FLAIR magnetic resonance.
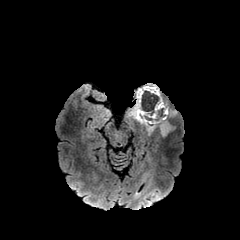
T1-weighted magnetic resonance.
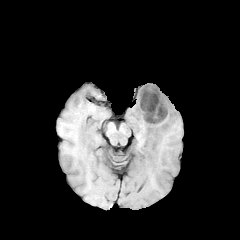
Post-contrast T1-weighted MRI.
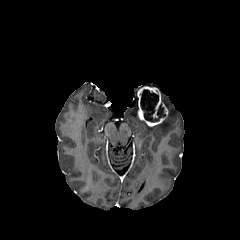
T2-weighted magnetic resonance.
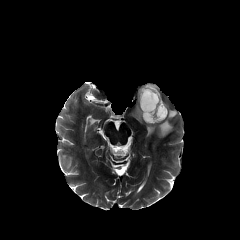
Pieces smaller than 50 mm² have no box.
The enhancing tumor is bounded by box(137, 86, 168, 126). The 2 largest necrotic tumor core regions are bounded by box(140, 91, 158, 111); box(157, 108, 165, 118). The 2 largest peritumoral edema regions appear at box(127, 95, 173, 136); box(163, 101, 177, 117).